Slice 110 of 155. Brain. 240x240. Axial plane.
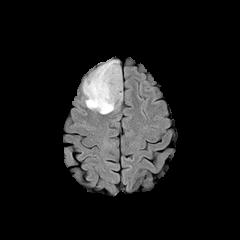
FLAIR MR image.
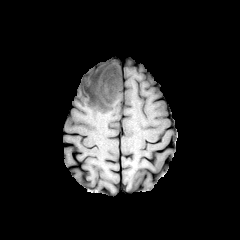
T1-weighted MRI.
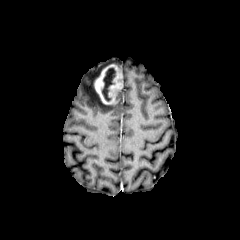
Post-contrast T1-weighted magnetic resonance.
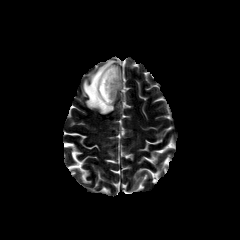
T2-weighted MRI.
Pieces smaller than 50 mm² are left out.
The largest peritumoral edema region is bounded by box(82, 60, 122, 114). The necrotic tumor core lies within box(102, 67, 115, 101). The enhancing tumor lies within box(93, 64, 122, 104).